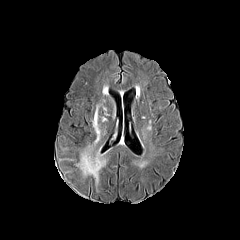
FLAIR magnetic resonance.
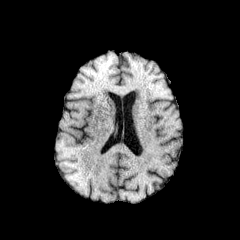
T1-weighted magnetic resonance.
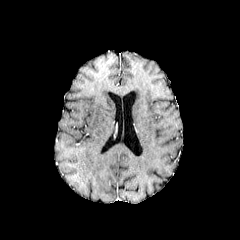
Post-contrast T1-weighted MRI.
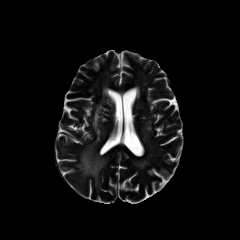
T2-weighted MR.
Head. Image size 240x240.
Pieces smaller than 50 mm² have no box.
peritumoral edema = bbox=[77, 148, 105, 184]; bbox=[93, 105, 100, 144]